Slice 78 of 155 | Brain | Axial plane
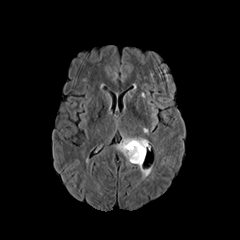
FLAIR MRI.
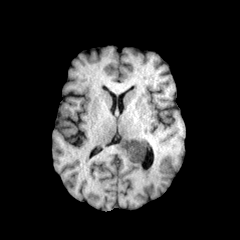
T1-weighted MR image.
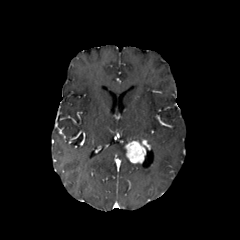
Same slice, post-contrast T1-weighted magnetic resonance.
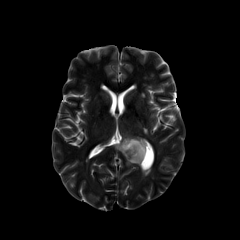
T2-weighted MR image.
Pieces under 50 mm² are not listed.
enhancing tumor: box(124, 140, 148, 163) | peritumoral edema: box(136, 163, 151, 176); box(117, 137, 145, 156)